Brain
FLAIR MRI.
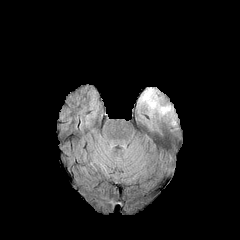
T1-weighted MRI.
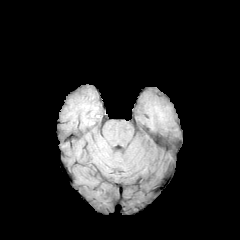
Post-contrast T1-weighted MR.
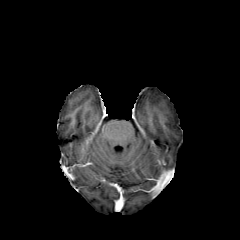
T2-weighted MRI.
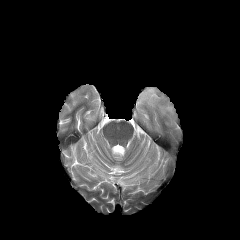
peritumoral_edema:
  - x1=140 y1=87 x2=172 y2=114